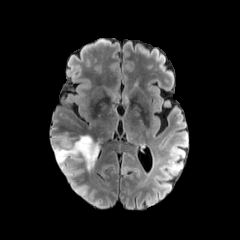
FLAIR MR image.
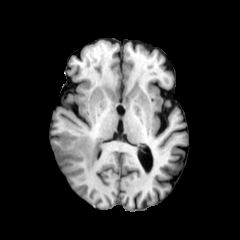
Same slice, T1-weighted MR.
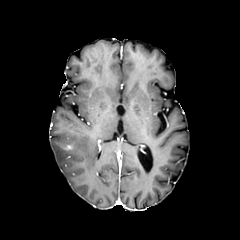
Same slice, post-contrast T1-weighted MR.
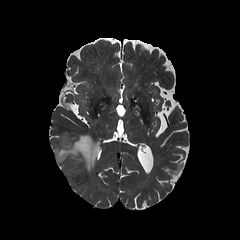
T2-weighted MR.
Axial slice. Head.
enhancing tumor at box(62, 145, 72, 150)
peritumoral edema at box(55, 134, 100, 170)